FLAIR magnetic resonance.
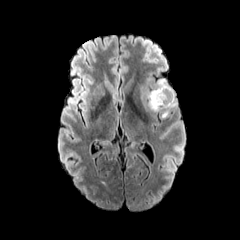
T1-weighted MR.
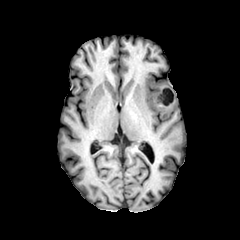
Post-contrast T1-weighted MR.
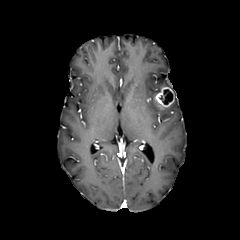
T2-weighted MRI.
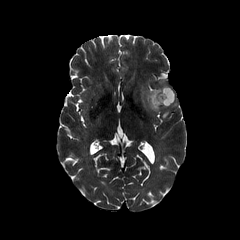
Head, 240x240 px
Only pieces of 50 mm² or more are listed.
enhancing tumor at 154,86,175,107
peritumoral edema at 148,79,167,109
necrotic tumor core at 158,89,172,104